Slice 94/155; 240x240 px; Axial plane; Head
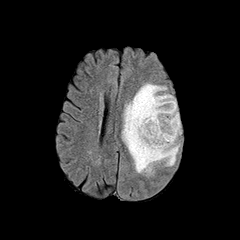
FLAIR MR.
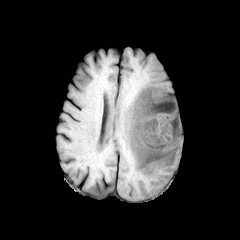
T1-weighted MR of the same slice.
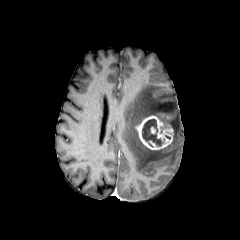
Same slice, post-contrast T1-weighted MR.
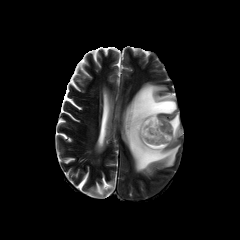
Same slice, T2-weighted MRI.
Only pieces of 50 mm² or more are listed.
peritumoral_edema:
  - box=[122, 83, 181, 175]
enhancing_tumor:
  - box=[136, 115, 173, 149]
necrotic_tumor_core:
  - box=[142, 119, 162, 146]